FLAIR magnetic resonance.
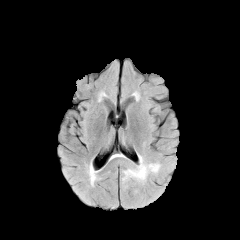
T1-weighted MRI.
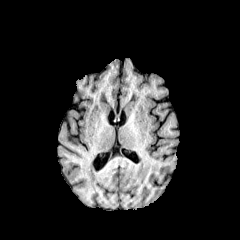
Post-contrast T1-weighted magnetic resonance.
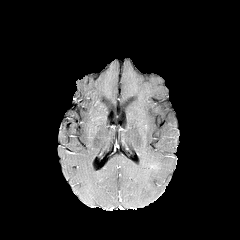
T2-weighted MRI.
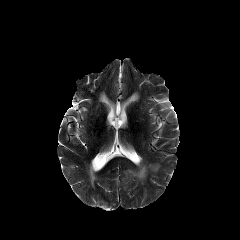
Brain
peritumoral edema: (122, 155, 160, 183)